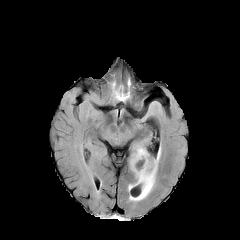
FLAIR MRI.
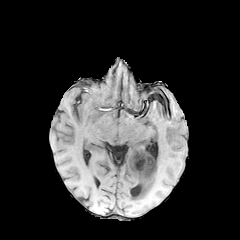
T1-weighted MR of the same slice.
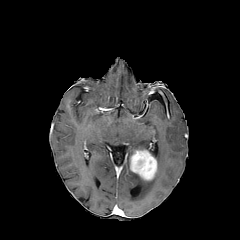
Post-contrast T1-weighted MR.
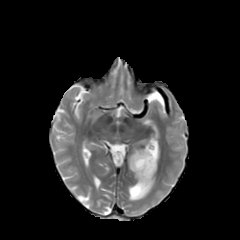
T2-weighted MR image.
Head, 240x240
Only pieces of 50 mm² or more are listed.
peritumoral_edema:
  - 128,173,155,200
enhancing_tumor:
  - 129,149,157,180